Axial slice, Head
FLAIR magnetic resonance.
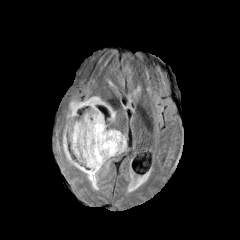
T1-weighted magnetic resonance.
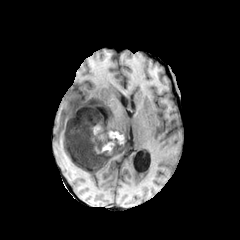
Post-contrast T1-weighted MRI.
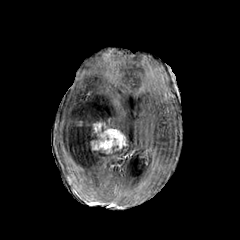
T2-weighted MR image.
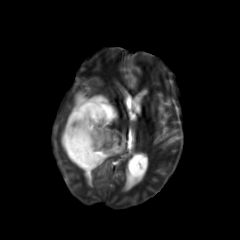
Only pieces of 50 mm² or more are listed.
The 3 largest necrotic tumor core regions appear at x1=72 y1=152 x2=86 y2=167, x1=72 y1=124 x2=99 y2=148, x1=97 y1=150 x2=107 y2=158. The largest peritumoral edema region is located at x1=62 y1=94 x2=124 y2=189. The largest enhancing tumor region appears at x1=90 y1=122 x2=126 y2=154.